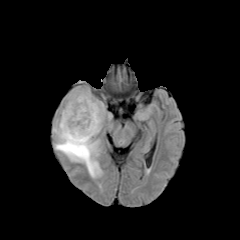
FLAIR magnetic resonance.
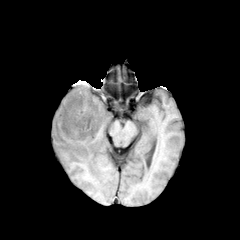
T1-weighted MR.
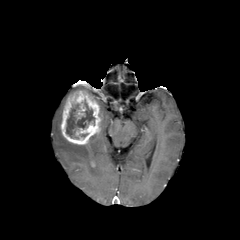
Post-contrast T1-weighted MRI.
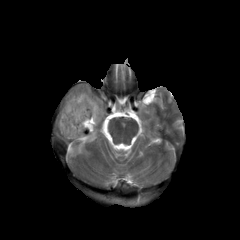
Same slice, T2-weighted magnetic resonance.
Head.
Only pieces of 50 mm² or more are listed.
necrotic tumor core — bbox(66, 101, 94, 138)
enhancing tumor — bbox(60, 90, 102, 144)
peritumoral edema — bbox(95, 99, 112, 130); bbox(53, 109, 102, 177)